FLAIR MR.
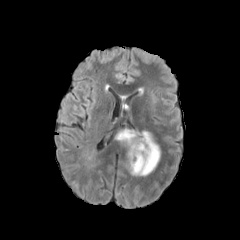
T1-weighted MR.
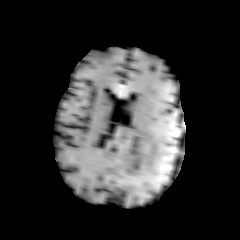
Post-contrast T1-weighted MR.
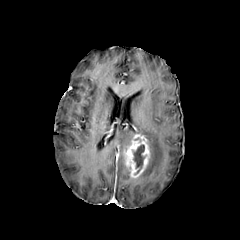
T2-weighted MR image.
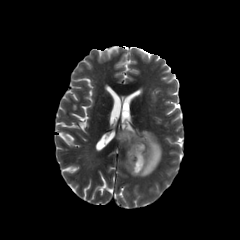
Image size 240x240. Brain. Axial slice.
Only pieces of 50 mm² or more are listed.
{"peritumoral_edema": ["rect(116, 130, 132, 145)", "rect(140, 131, 161, 176)"], "necrotic_tumor_core": ["rect(134, 145, 144, 173)"], "enhancing_tumor": ["rect(124, 134, 150, 177)"]}